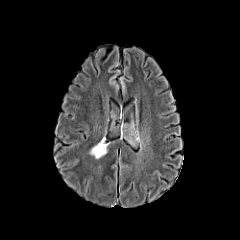
FLAIR MRI.
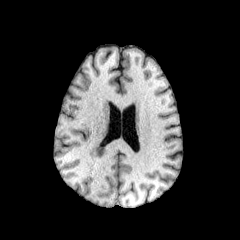
T1-weighted magnetic resonance.
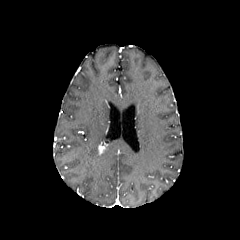
Post-contrast T1-weighted MR image of the same slice.
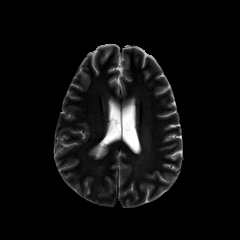
T2-weighted MRI.
Image size 240x240. Head.
enhancing tumor = [98,143,105,154]
peritumoral edema = [89,138,108,158]